Image size 240x240
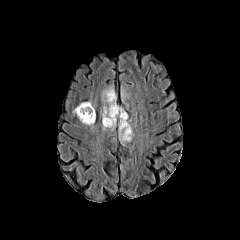
FLAIR magnetic resonance.
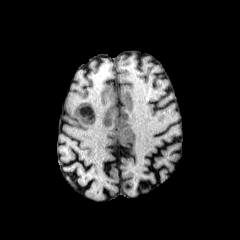
T1-weighted magnetic resonance.
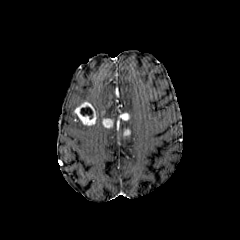
Post-contrast T1-weighted MR image of the same slice.
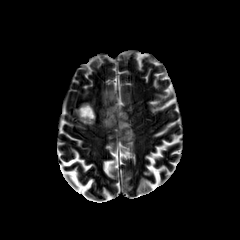
Same slice, T2-weighted MR image.
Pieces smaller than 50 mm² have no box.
{"peritumoral_edema": ["102,87,116,115", "118,120,133,142"], "necrotic_tumor_core": ["104,100,119,125", "80,107,92,119"], "enhancing_tumor": ["124,128,130,136", "115,106,129,126", "102,118,113,128", "73,102,96,125"]}